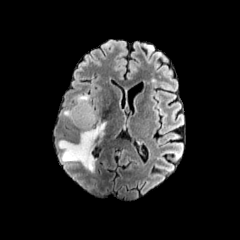
FLAIR MRI.
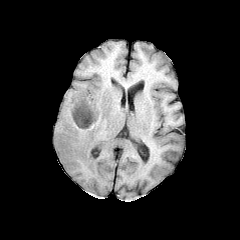
Same slice, T1-weighted MRI.
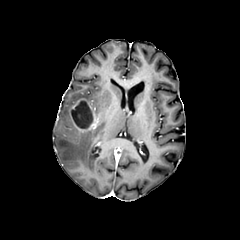
Post-contrast T1-weighted MR image.
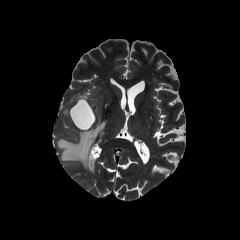
T2-weighted MRI of the same slice.
Axial plane, Brain
necrotic tumor core: [x1=71, y1=101, x2=92, y2=128]
enhancing tumor: [x1=71, y1=98, x2=98, y2=131]
peritumoral edema: [x1=64, y1=109, x2=72, y2=122], [x1=58, y1=121, x2=106, y2=172], [x1=74, y1=93, x2=88, y2=102]